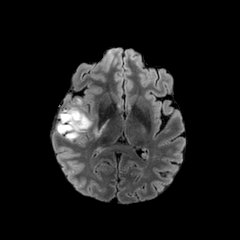
FLAIR magnetic resonance.
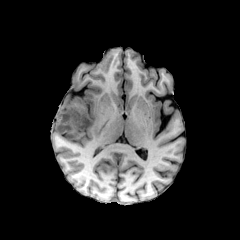
T1-weighted magnetic resonance.
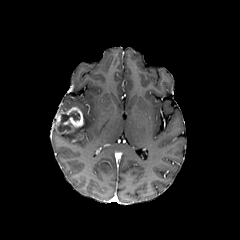
Post-contrast T1-weighted magnetic resonance.
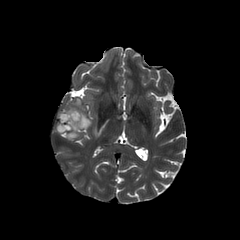
Same slice, T2-weighted MRI.
Head | Axial plane | 240x240
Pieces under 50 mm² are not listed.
necrotic tumor core — <box>59,111,79,131</box>
enhancing tumor — <box>57,107,84,133</box>
peritumoral edema — <box>65,109,90,139</box>